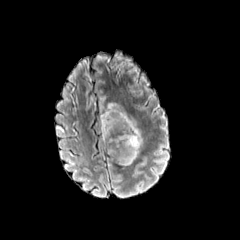
FLAIR MR image.
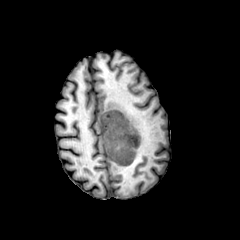
T1-weighted MRI of the same slice.
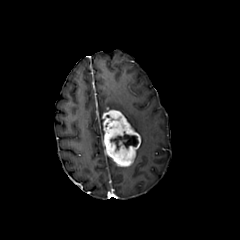
Post-contrast T1-weighted MR image.
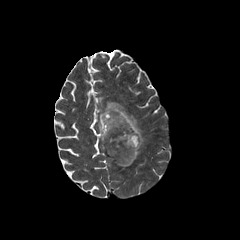
T2-weighted MRI of the same slice.
240x240. Head.
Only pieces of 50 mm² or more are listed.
The largest necrotic tumor core region is located at box(110, 132, 138, 149). The enhancing tumor lies within box(102, 109, 141, 166). The peritumoral edema is at box(99, 102, 143, 157).